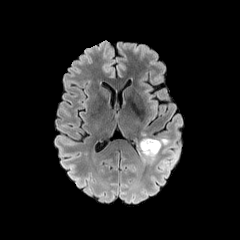
FLAIR MRI.
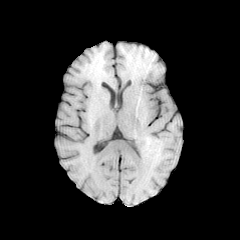
T1-weighted MR image.
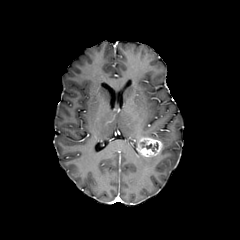
Post-contrast T1-weighted MR.
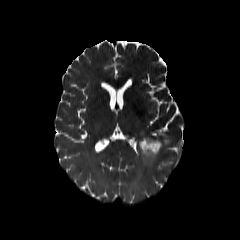
T2-weighted MR.
Head
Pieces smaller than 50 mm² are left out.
The largest necrotic tumor core region is at <bbox>146, 143, 158, 151</bbox>. The 2 largest peritumoral edema regions appear at <bbox>141, 155, 156, 163</bbox>, <bbox>160, 138, 169, 145</bbox>. The enhancing tumor lies within <bbox>138, 137, 162, 157</bbox>.